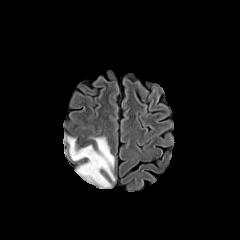
FLAIR MRI.
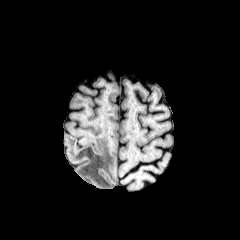
T1-weighted MR.
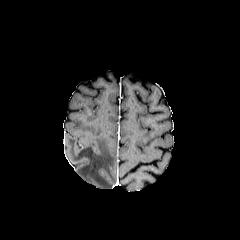
Post-contrast T1-weighted MRI of the same slice.
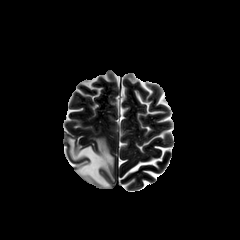
Same slice, T2-weighted magnetic resonance.
peritumoral_edema:
  - <bbox>66, 137, 114, 188</bbox>